FLAIR MR image.
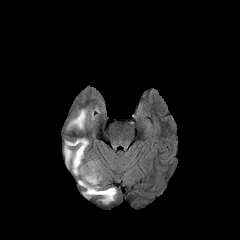
T1-weighted MRI.
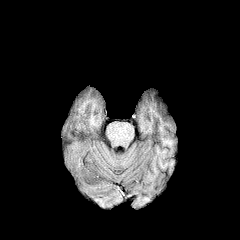
Post-contrast T1-weighted MR.
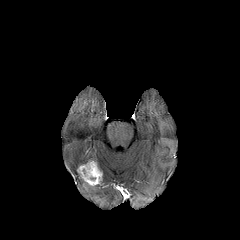
T2-weighted MRI.
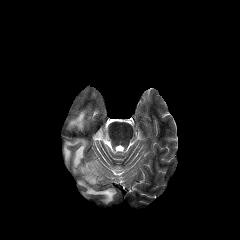
Axial view
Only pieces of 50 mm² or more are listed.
The 3 largest peritumoral edema regions are bounded by <bbox>68, 109, 87, 129</bbox>, <bbox>83, 185, 116, 203</bbox>, <bbox>64, 138, 88, 175</bbox>. The enhancing tumor is bounded by <bbox>77, 160, 102, 187</bbox>.